Brain
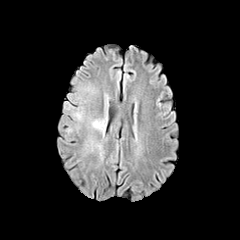
FLAIR MR.
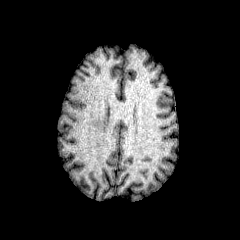
Same slice, T1-weighted magnetic resonance.
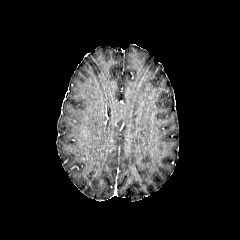
Post-contrast T1-weighted MR image.
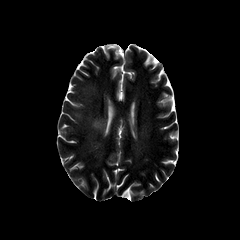
T2-weighted MRI.
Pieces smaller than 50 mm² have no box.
Annotated regions:
- peritumoral edema: 73,111,82,120; 91,118,105,134